Brain, Axial slice, Image width 240 mm
FLAIR MRI.
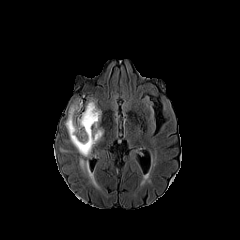
T1-weighted magnetic resonance.
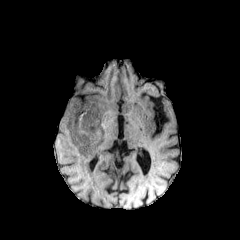
Post-contrast T1-weighted magnetic resonance.
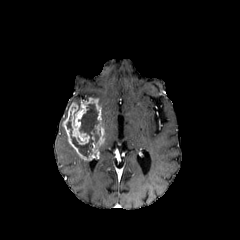
T2-weighted MR.
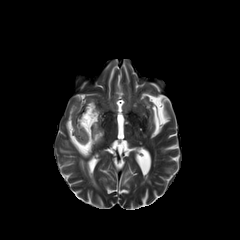
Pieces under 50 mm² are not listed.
enhancing tumor: bounding box bbox(63, 98, 104, 160)
peritumoral edema: bounding box bbox(79, 158, 98, 187)
necrotic tumor core: bounding box bbox(66, 104, 99, 157)